240x240 px; Axial plane; Slice index 118
FLAIR MR image.
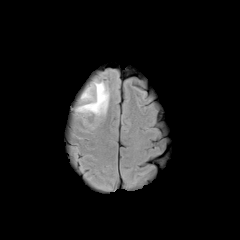
T1-weighted MR image.
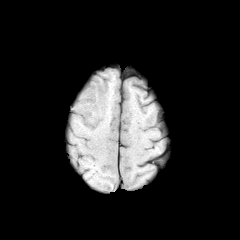
Post-contrast T1-weighted magnetic resonance.
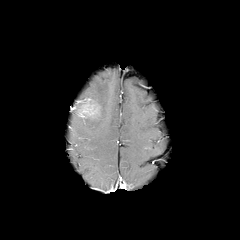
T2-weighted MR.
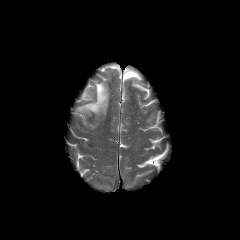
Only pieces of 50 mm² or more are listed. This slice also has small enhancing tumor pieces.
The peritumoral edema is located at [x1=76, y1=81, x2=109, y2=118].